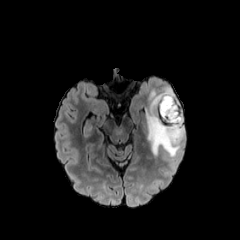
FLAIR magnetic resonance.
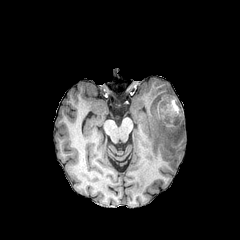
Same slice, T1-weighted MRI.
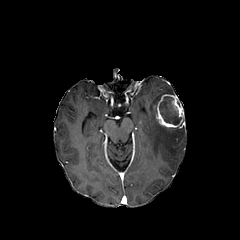
Post-contrast T1-weighted MRI of the same slice.
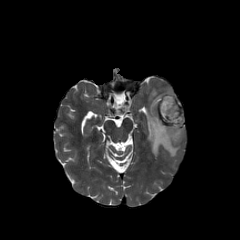
Same slice, T2-weighted MR image.
Head, 240x240
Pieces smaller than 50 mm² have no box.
{"necrotic_tumor_core": ["rect(159, 96, 181, 124)"], "peritumoral_edema": ["rect(145, 86, 184, 157)"], "enhancing_tumor": ["rect(153, 94, 183, 128)"]}